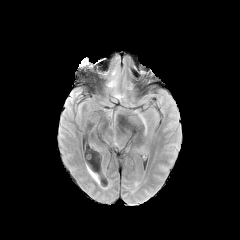
FLAIR MR.
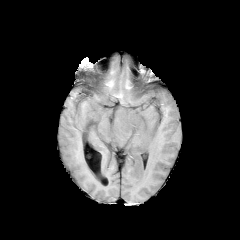
T1-weighted MR.
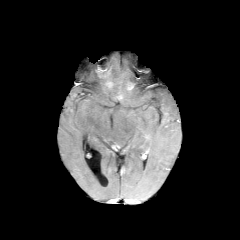
Post-contrast T1-weighted MR image.
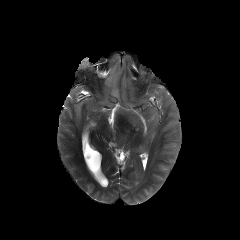
Same slice, T2-weighted MR image.
Head, 240x240 px, Axial view
The peritumoral edema is bounded by bbox=[106, 61, 135, 104].